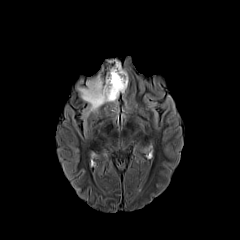
FLAIR magnetic resonance.
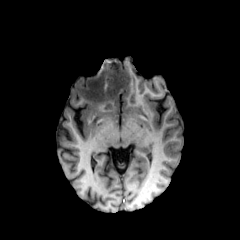
T1-weighted magnetic resonance of the same slice.
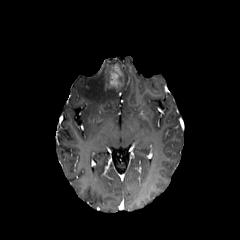
Same slice, post-contrast T1-weighted magnetic resonance.
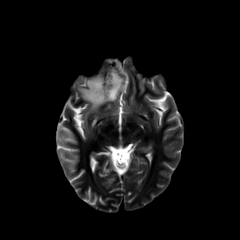
Same slice, T2-weighted MR.
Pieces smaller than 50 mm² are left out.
peritumoral edema: <bbox>77, 59, 128, 113</bbox> | enhancing tumor: <bbox>106, 64, 123, 90</bbox>